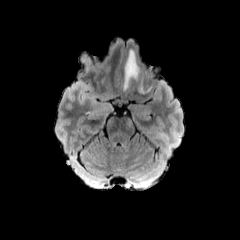
FLAIR MR.
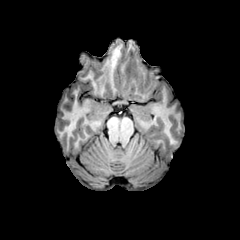
Same slice, T1-weighted magnetic resonance.
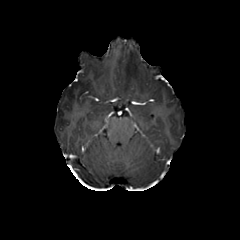
Post-contrast T1-weighted MRI of the same slice.
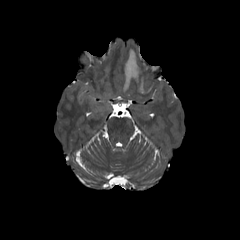
Same slice, T2-weighted MR.
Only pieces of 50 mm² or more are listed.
Findings:
- peritumoral edema: region(123, 50, 140, 90)